Axial view.
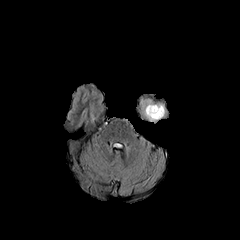
FLAIR MR image.
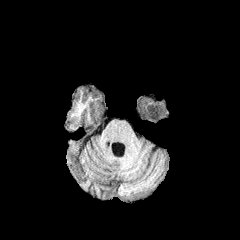
T1-weighted MR image.
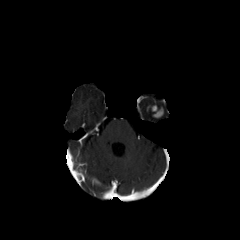
Post-contrast T1-weighted MR image.
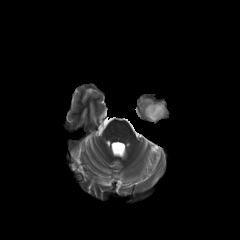
T2-weighted MR of the same slice.
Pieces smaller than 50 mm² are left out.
enhancing tumor: 151:107:163:117, 147:105:157:113 | peritumoral edema: 141:100:164:121